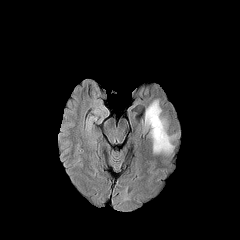
FLAIR magnetic resonance.
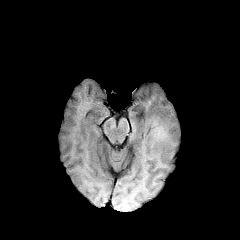
T1-weighted MR.
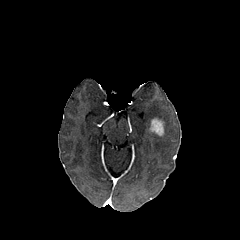
Post-contrast T1-weighted magnetic resonance of the same slice.
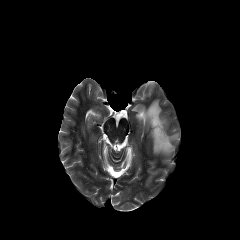
T2-weighted MR.
Axial slice, Head
The enhancing tumor appears at bbox(150, 118, 164, 135). The peritumoral edema is bounded by bbox(143, 100, 176, 154).